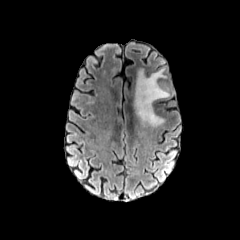
FLAIR MR image.
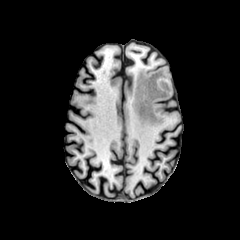
T1-weighted MR.
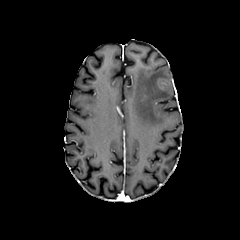
Post-contrast T1-weighted MR image of the same slice.
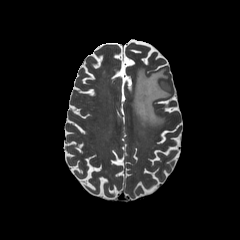
T2-weighted MR image.
240x240
peritumoral_edema:
  - (x1=134, y1=68, x2=170, y2=126)